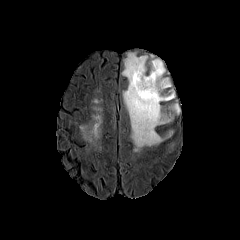
FLAIR MR.
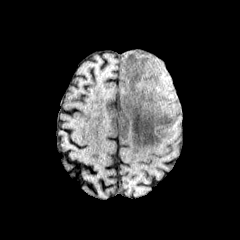
T1-weighted MR of the same slice.
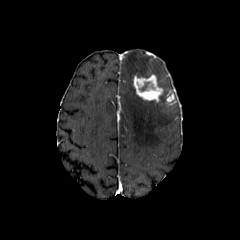
Post-contrast T1-weighted magnetic resonance of the same slice.
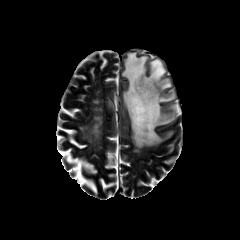
T2-weighted MR.
240x240
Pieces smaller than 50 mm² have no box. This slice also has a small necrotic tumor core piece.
peritumoral edema = box=[122, 52, 179, 151]; box=[150, 59, 171, 89]
enhancing tumor = box=[166, 90, 174, 102]; box=[133, 74, 163, 102]